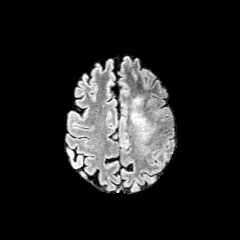
FLAIR MRI.
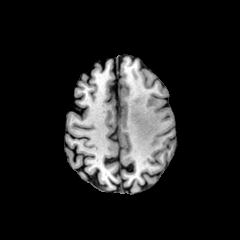
T1-weighted MR.
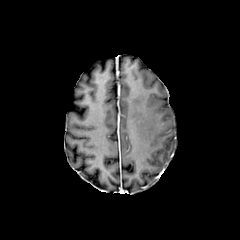
Post-contrast T1-weighted MRI.
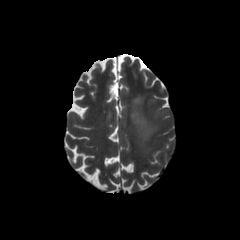
Same slice, T2-weighted magnetic resonance.
Axial slice, Head
Annotated regions:
* peritumoral edema: box(131, 96, 154, 135)